FLAIR MRI.
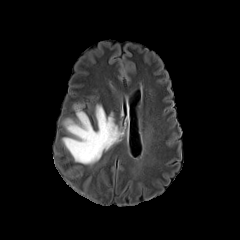
T1-weighted MRI.
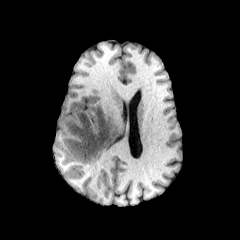
Post-contrast T1-weighted MR.
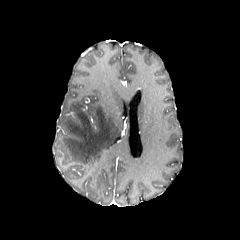
T2-weighted MR image.
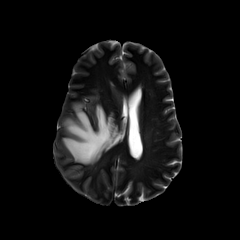
Brain; 240x240; Axial plane
<segmentation>
  <peritumoral_edema>box(62, 104, 120, 164)</peritumoral_edema>
</segmentation>